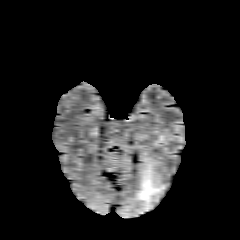
FLAIR MR image.
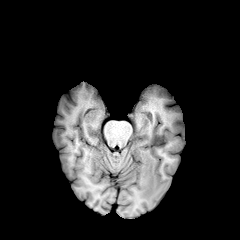
T1-weighted MR image.
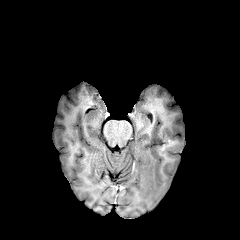
Same slice, post-contrast T1-weighted MR.
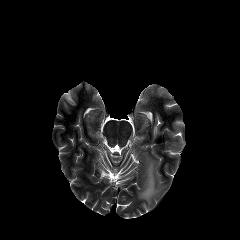
T2-weighted MR image of the same slice.
Head; Axial view
peritumoral edema at rect(136, 157, 165, 210)